Slice 63/155
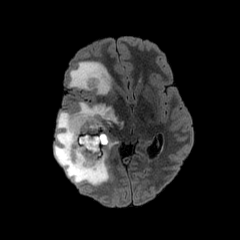
FLAIR magnetic resonance.
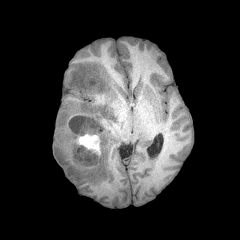
Same slice, T1-weighted magnetic resonance.
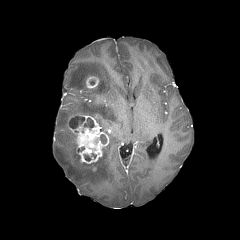
Post-contrast T1-weighted MR.
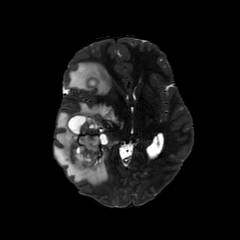
T2-weighted magnetic resonance of the same slice.
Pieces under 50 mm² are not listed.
enhancing tumor: bounding box 85:76:99:88, 68:114:109:163
necrotic tumor core: bounding box 84:118:94:128, 69:116:84:129, 80:135:106:150
peritumoral edema: bounding box 68:61:111:94, 54:102:118:185